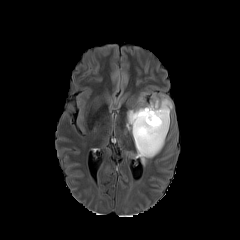
FLAIR magnetic resonance.
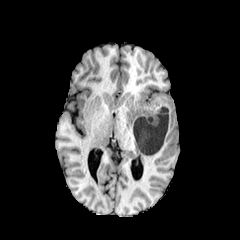
Same slice, T1-weighted MR.
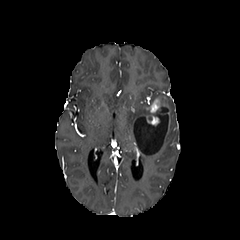
Same slice, post-contrast T1-weighted MR image.
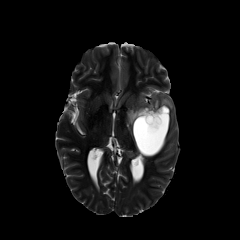
Same slice, T2-weighted magnetic resonance.
Axial plane; Head
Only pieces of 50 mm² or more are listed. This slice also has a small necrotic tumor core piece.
peritumoral edema: 126:92:172:164 | enhancing tumor: 146:115:159:125, 146:98:160:113